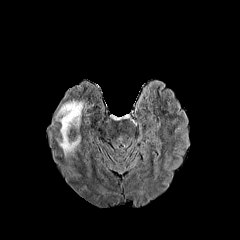
FLAIR MR image.
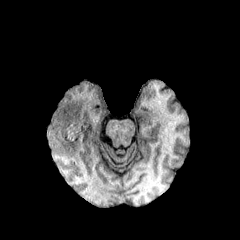
Same slice, T1-weighted MR image.
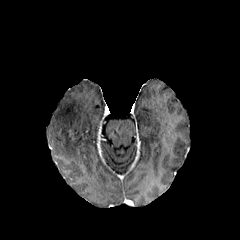
Post-contrast T1-weighted magnetic resonance of the same slice.
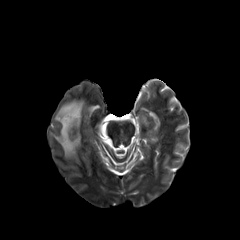
Same slice, T2-weighted magnetic resonance.
Axial plane
Annotated regions:
* peritumoral edema: (55,100,85,156)